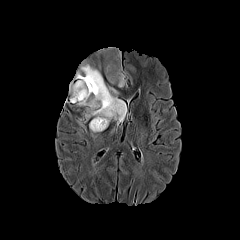
FLAIR MRI.
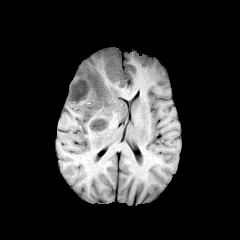
T1-weighted MR image.
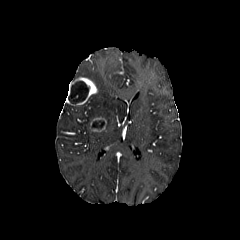
Post-contrast T1-weighted MRI.
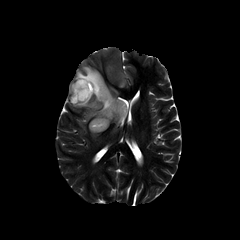
T2-weighted MRI.
Axial view | Brain
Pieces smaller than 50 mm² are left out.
<segmentation>
  <necrotic_tumor_core>rect(68, 81, 90, 103); rect(92, 120, 104, 128)</necrotic_tumor_core>
  <peritumoral_edema>rect(73, 47, 126, 127)</peritumoral_edema>
  <enhancing_tumor>rect(66, 76, 98, 105); rect(89, 117, 106, 132)</enhancing_tumor>
</segmentation>